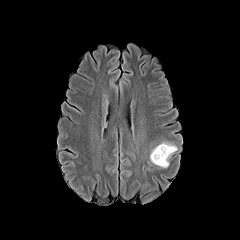
FLAIR MR.
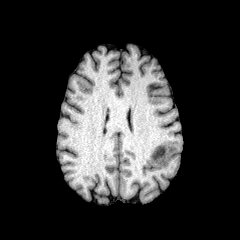
T1-weighted magnetic resonance.
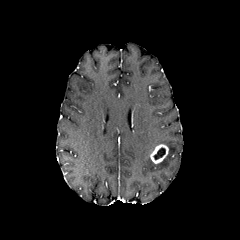
Post-contrast T1-weighted MRI of the same slice.
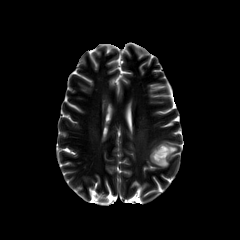
T2-weighted MR image.
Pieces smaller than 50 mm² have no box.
peritumoral_edema:
  - <box>156,141,177,167</box>
enhancing_tumor:
  - <box>150,144,168,163</box>
necrotic_tumor_core:
  - <box>153,147,165,159</box>